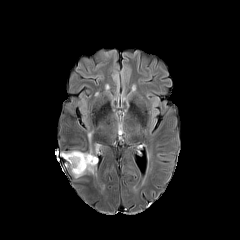
FLAIR MR image.
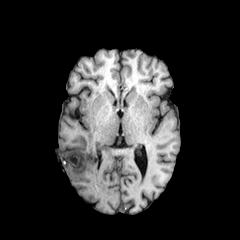
T1-weighted magnetic resonance.
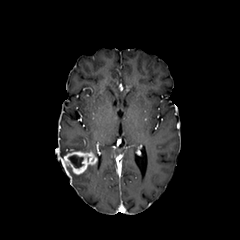
Same slice, post-contrast T1-weighted MR image.
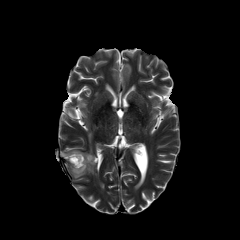
T2-weighted MR image.
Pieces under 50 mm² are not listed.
<segmentation>
  <necrotic_tumor_core>bbox=[68, 155, 83, 167]</necrotic_tumor_core>
  <peritumoral_edema>bbox=[83, 165, 95, 173]</peritumoral_edema>
  <enhancing_tumor>bbox=[64, 151, 97, 174]</enhancing_tumor>
</segmentation>